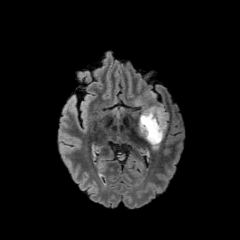
FLAIR MRI.
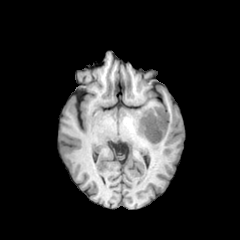
T1-weighted MR image of the same slice.
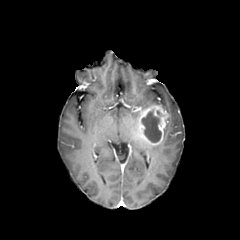
Same slice, post-contrast T1-weighted MRI.
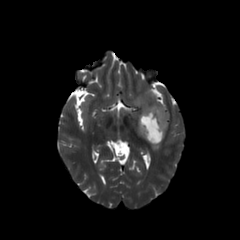
T2-weighted MRI.
Head
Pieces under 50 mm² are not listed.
enhancing tumor: bounding box (left=136, top=105, right=169, bottom=145)
peritumoral edema: bounding box (left=135, top=98, right=144, bottom=106)
necrotic tumor core: bounding box (left=142, top=111, right=161, bottom=142)